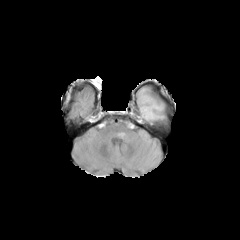
FLAIR magnetic resonance.
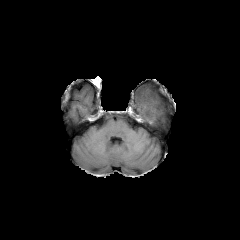
T1-weighted MRI.
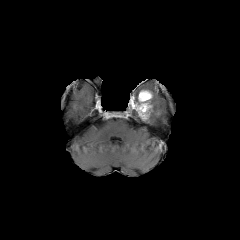
Post-contrast T1-weighted MRI.
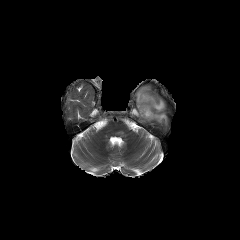
Same slice, T2-weighted MRI.
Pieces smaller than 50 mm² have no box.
enhancing tumor — bbox(132, 89, 153, 120)
peritumoral edema — bbox(147, 95, 164, 121)